Axial slice | Image covers 240 mm x 240 mm
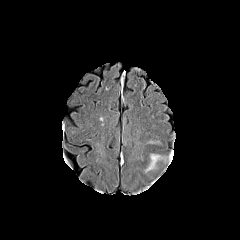
FLAIR MR image.
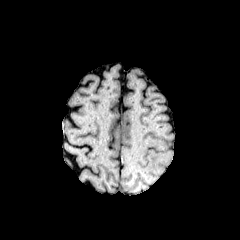
T1-weighted MR image.
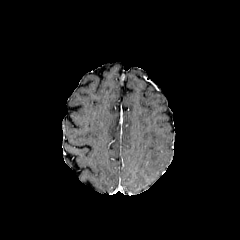
Post-contrast T1-weighted MR.
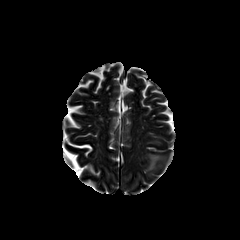
T2-weighted magnetic resonance of the same slice.
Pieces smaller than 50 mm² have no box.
The largest peritumoral edema region is at (left=146, top=154, right=160, bottom=171).